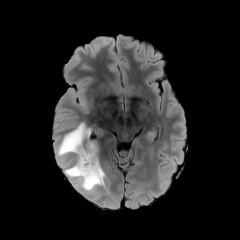
FLAIR MR image.
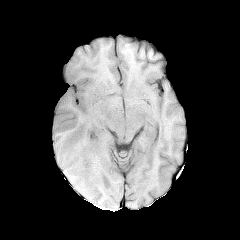
Same slice, T1-weighted MR.
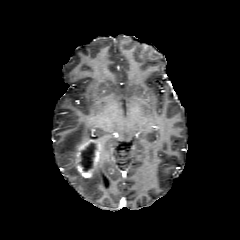
Post-contrast T1-weighted MRI.
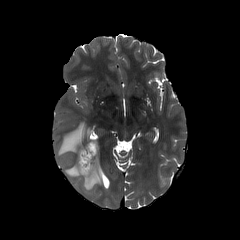
T2-weighted MR.
Axial slice | Head
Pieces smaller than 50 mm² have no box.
necrotic tumor core at (79,143,96,170)
peritumoral edema at (56,122,90,167), (64,162,106,197)
enhancing tumor at (75,140,99,180)